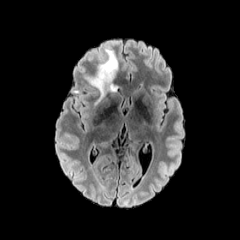
FLAIR MR image.
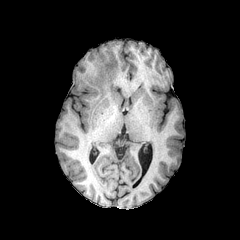
T1-weighted magnetic resonance.
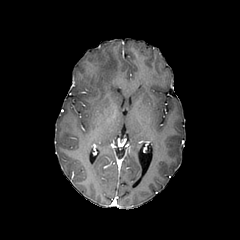
Post-contrast T1-weighted magnetic resonance of the same slice.
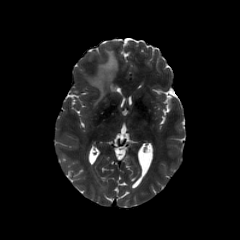
T2-weighted MR.
Image size 240x240. Axial plane. Head.
The peritumoral edema appears at 85:49:117:104.